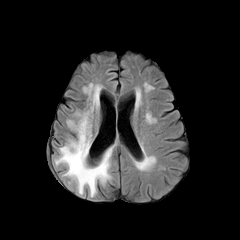
FLAIR MR image.
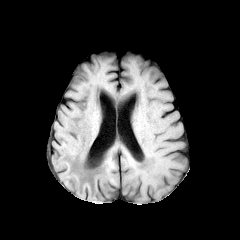
Same slice, T1-weighted MR.
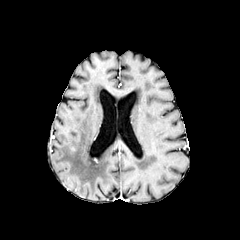
Post-contrast T1-weighted MR.
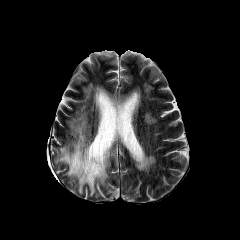
T2-weighted MR.
240x240.
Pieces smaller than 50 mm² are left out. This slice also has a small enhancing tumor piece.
<segmentation>
  <peritumoral_edema>left=55, top=83, right=113, bottom=196</peritumoral_edema>
</segmentation>